Axial view. Slice 105/155.
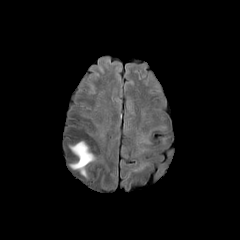
FLAIR MRI.
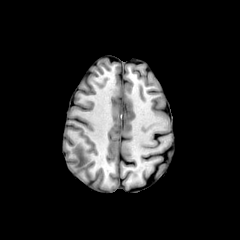
T1-weighted MRI.
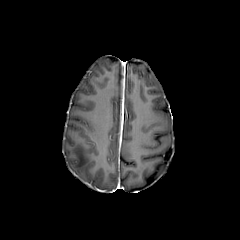
Post-contrast T1-weighted MR image.
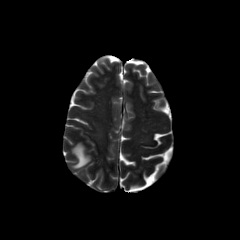
T2-weighted MR of the same slice.
<segmentation>
  <peritumoral_edema>bbox(71, 142, 94, 175)</peritumoral_edema>
</segmentation>